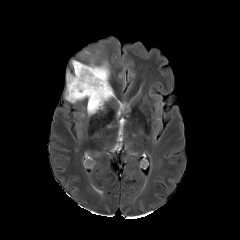
FLAIR MR image.
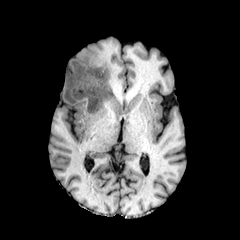
T1-weighted MRI of the same slice.
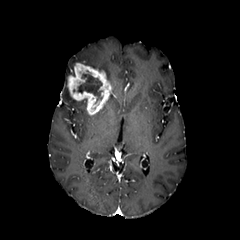
Post-contrast T1-weighted MR.
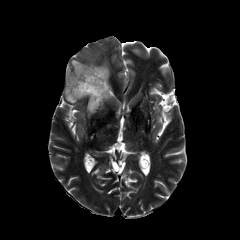
Same slice, T2-weighted MR.
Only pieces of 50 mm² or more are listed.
Annotated regions:
• necrotic tumor core: <box>78,74,101,98</box>
• enhancing tumor: <box>67,63,113,115</box>
• peritumoral edema: <box>87,61,109,79</box>, <box>65,87,76,102</box>